FLAIR MR.
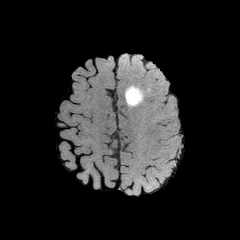
T1-weighted magnetic resonance.
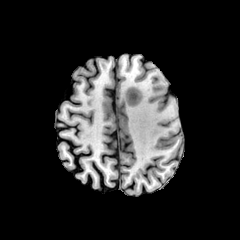
Post-contrast T1-weighted MRI.
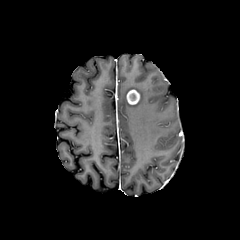
T2-weighted MRI.
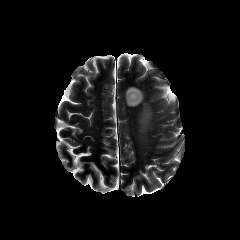
Brain
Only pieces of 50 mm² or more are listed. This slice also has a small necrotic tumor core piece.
Segmented structures:
• enhancing tumor: <bbox>126, 89, 139, 104</bbox>
• peritumoral edema: <bbox>125, 86, 143, 106</bbox>